Slice index 47, Image width 240 mm, 1.00 mm slice spacing, Axial view, 240x240 px
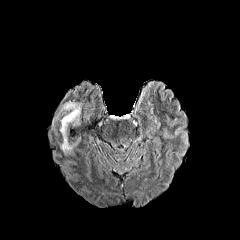
FLAIR magnetic resonance.
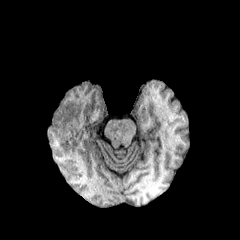
T1-weighted MR image.
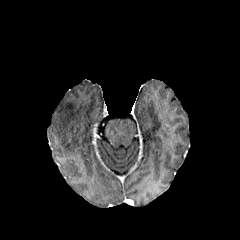
Post-contrast T1-weighted MR image.
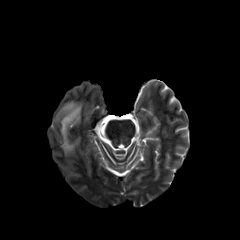
T2-weighted MR image.
The peritumoral edema lies within [60, 101, 81, 153].